FLAIR MR.
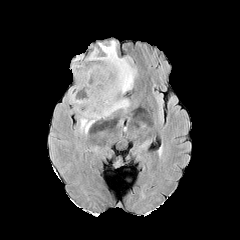
T1-weighted MRI.
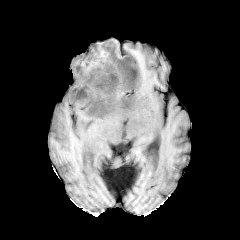
Post-contrast T1-weighted MR image.
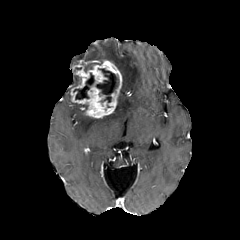
T2-weighted magnetic resonance.
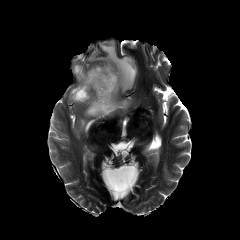
Brain
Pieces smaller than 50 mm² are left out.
{"necrotic_tumor_core": ["rect(73, 73, 94, 99)", "rect(96, 69, 118, 102)"], "peritumoral_edema": ["rect(114, 96, 130, 112)", "rect(88, 41, 136, 94)", "rect(79, 110, 98, 134)"], "enhancing_tumor": ["rect(70, 60, 122, 118)"]}